FLAIR MR image.
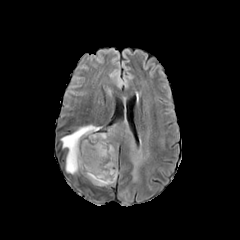
T1-weighted magnetic resonance.
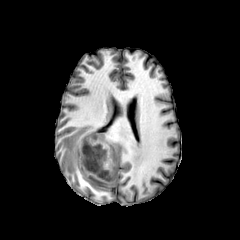
Post-contrast T1-weighted magnetic resonance.
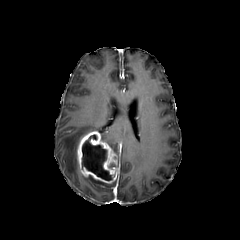
T2-weighted magnetic resonance.
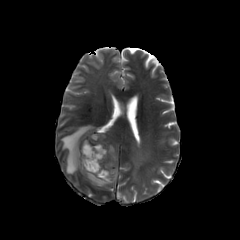
240x240
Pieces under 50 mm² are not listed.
Annotated regions:
- necrotic tumor core: left=82, top=135, right=112, bottom=180
- peritumoral edema: left=61, top=125, right=101, bottom=173; left=88, top=176, right=114, bottom=186; left=99, top=127, right=142, bottom=181
- enhancing tumor: left=77, top=131, right=119, bottom=183